FLAIR magnetic resonance.
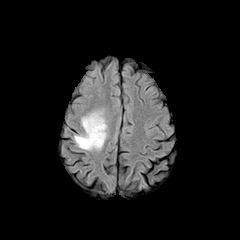
T1-weighted magnetic resonance.
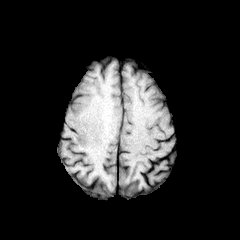
Post-contrast T1-weighted MR image.
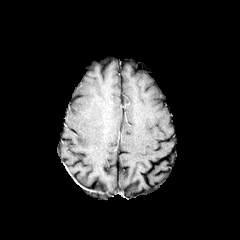
T2-weighted MR.
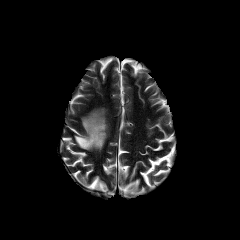
Brain, 240x240
peritumoral edema: l=74, t=110, r=107, b=150